Head. Slice index 118. Image covers 240 mm x 240 mm. 240x240 px.
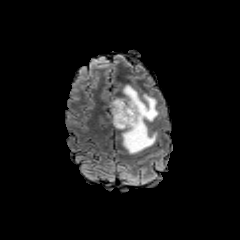
FLAIR MR.
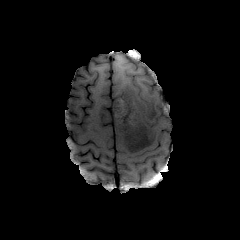
Same slice, T1-weighted MR image.
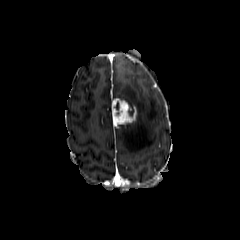
Post-contrast T1-weighted MRI.
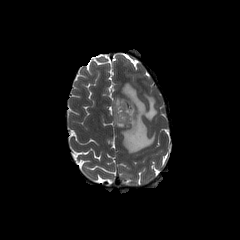
Same slice, T2-weighted MRI.
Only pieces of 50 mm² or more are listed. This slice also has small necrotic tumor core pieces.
enhancing tumor: box(111, 98, 136, 128) | peritumoral edema: box(119, 84, 158, 153)